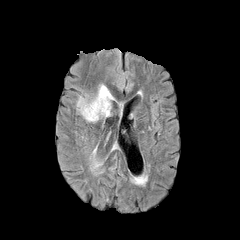
FLAIR magnetic resonance.
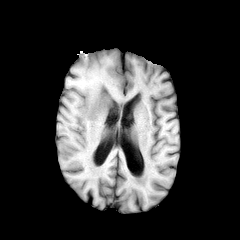
T1-weighted MRI.
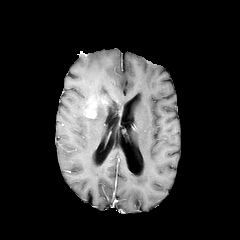
Same slice, post-contrast T1-weighted MR image.
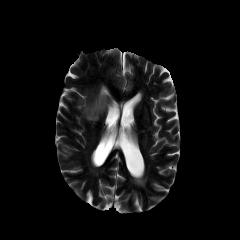
T2-weighted magnetic resonance.
{
  "peritumoral_edema": [
    "(left=77, top=85, right=113, bottom=121)"
  ],
  "enhancing_tumor": [
    "(left=83, top=95, right=108, bottom=118)"
  ]
}